Head | Slice 77 of 155 | Axial slice
FLAIR MRI.
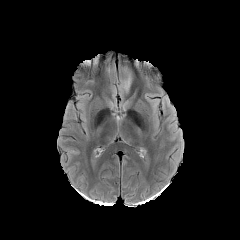
T1-weighted magnetic resonance.
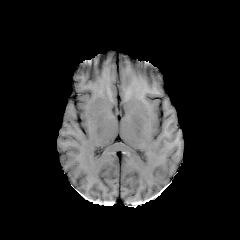
Post-contrast T1-weighted MR image.
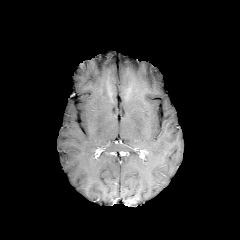
T2-weighted magnetic resonance.
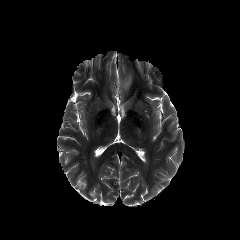
* peritumoral edema: 119:74:131:90